Axial plane; Slice index 85
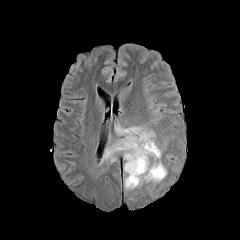
FLAIR MR image.
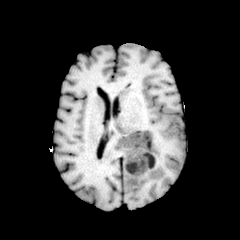
T1-weighted MRI of the same slice.
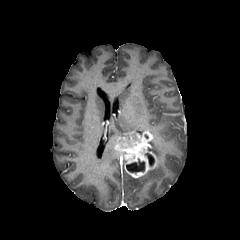
Post-contrast T1-weighted MR image.
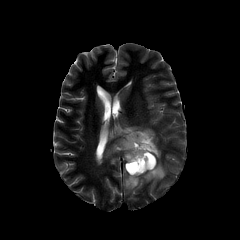
Same slice, T2-weighted MRI.
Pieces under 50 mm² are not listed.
Annotated regions:
* enhancing tumor: (x1=114, y1=130, x2=156, y2=177)
* peritumoral edema: (x1=148, y1=140, x2=160, y2=159), (x1=115, y1=125, x2=146, y2=136), (x1=102, y1=145, x2=117, y2=161), (x1=125, y1=162, x2=166, y2=189)
* necrotic tumor core: (x1=126, y1=158, x2=145, y2=172), (x1=145, y1=153, x2=154, y2=166)